FLAIR MR image.
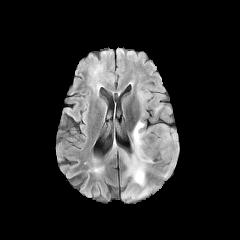
T1-weighted magnetic resonance.
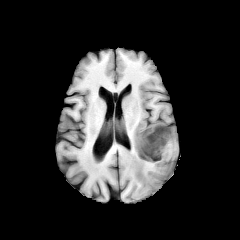
Post-contrast T1-weighted magnetic resonance.
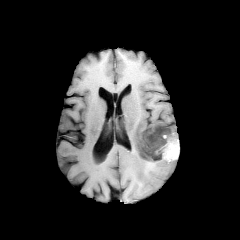
T2-weighted MRI.
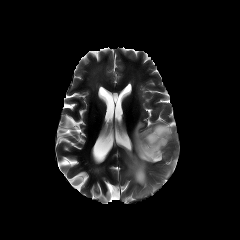
Brain
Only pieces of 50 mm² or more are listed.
enhancing tumor: 139:126:178:161
necrotic tumor core: 140:127:171:159
peritumoral edema: 161:158:176:177, 124:120:154:197, 171:128:178:148